FLAIR MRI.
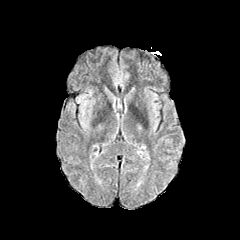
T1-weighted MRI.
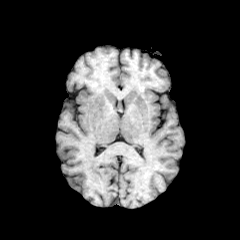
Post-contrast T1-weighted MRI.
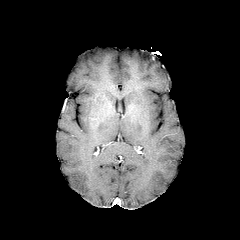
T2-weighted MR.
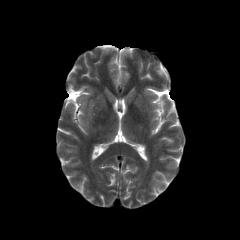
Axial slice.
{
  "peritumoral_edema": [
    "[79, 95, 88, 116]"
  ]
}